Axial view. Image covers 240 mm x 240 mm. Slice 113 of 155. Brain.
FLAIR magnetic resonance.
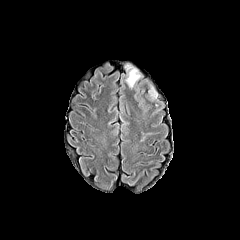
T1-weighted MRI.
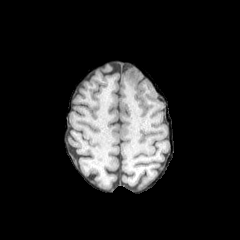
Post-contrast T1-weighted MR.
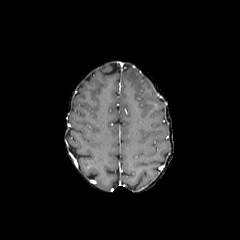
T2-weighted MR image.
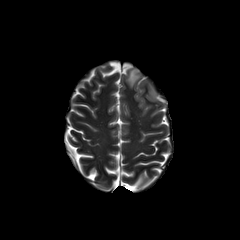
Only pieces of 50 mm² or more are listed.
The largest peritumoral edema region is bounded by (left=126, top=69, right=140, bottom=87).